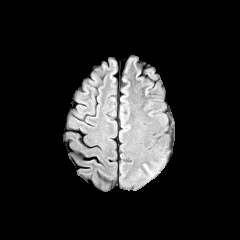
FLAIR MRI.
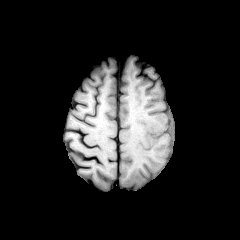
T1-weighted magnetic resonance.
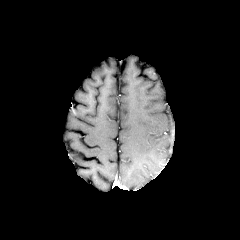
Post-contrast T1-weighted MR of the same slice.
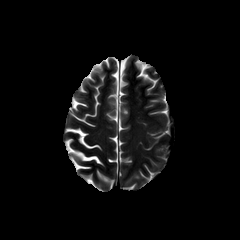
Same slice, T2-weighted MR image.
Image size 240x240
peritumoral edema: bounding box <bbox>142, 161, 160, 180</bbox>